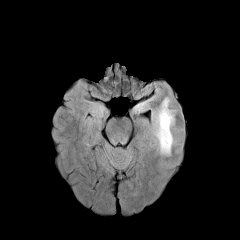
FLAIR MR.
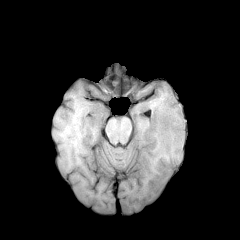
Same slice, T1-weighted MRI.
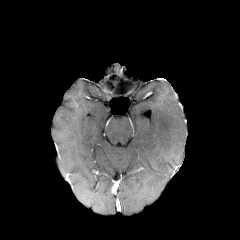
Post-contrast T1-weighted magnetic resonance.
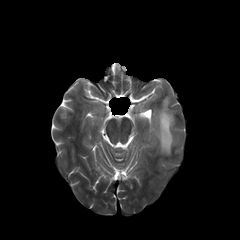
Same slice, T2-weighted MR.
Findings:
• peritumoral edema: <box>151,97,176,155</box>, <box>132,95,154,113</box>